FLAIR MR.
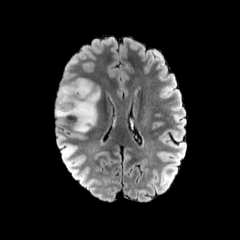
T1-weighted MR image.
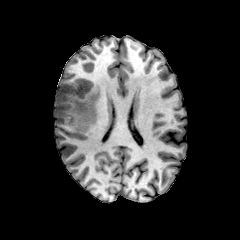
Post-contrast T1-weighted MRI.
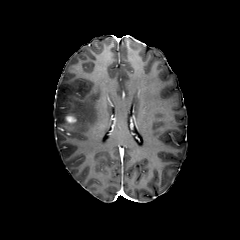
T2-weighted MR image.
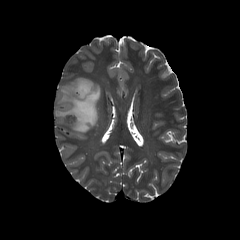
240x240
Findings:
* peritumoral edema: [x1=55, y1=78, x2=100, y2=131]
* enhancing tumor: [x1=64, y1=112, x2=76, y2=123]